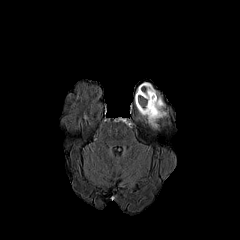
FLAIR MR image.
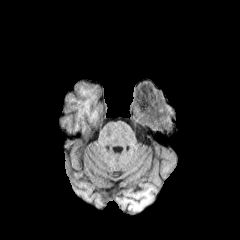
T1-weighted MR.
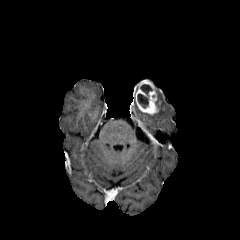
Post-contrast T1-weighted magnetic resonance of the same slice.
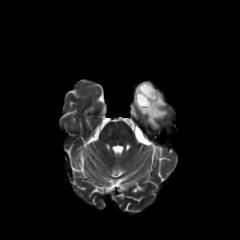
T2-weighted MR of the same slice.
240x240 px | Axial plane
Annotated regions:
- peritumoral edema: 139,92,167,127
- necrotic tumor core: 140,84,152,94; 137,94,148,107
- enhancing tumor: 135,80,160,115